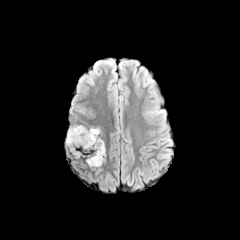
FLAIR MR.
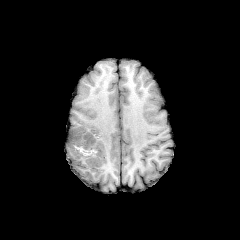
T1-weighted MR.
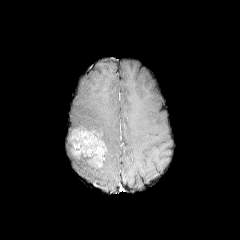
Same slice, post-contrast T1-weighted MR image.
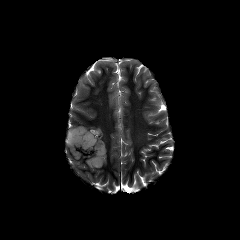
T2-weighted MR.
Head
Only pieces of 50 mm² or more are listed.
peritumoral edema: box(66, 126, 84, 149)
enhancing tumor: box(68, 127, 106, 167)